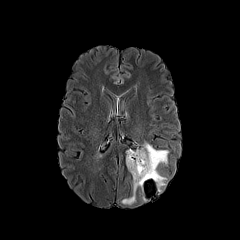
FLAIR MR.
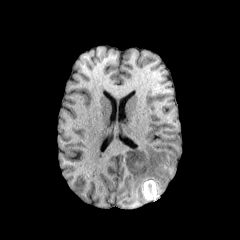
T1-weighted MR image.
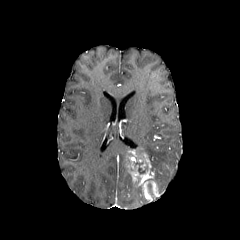
Post-contrast T1-weighted magnetic resonance.
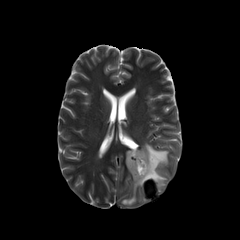
T2-weighted MRI.
Image size 240x240 | Head
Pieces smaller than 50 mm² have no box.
The largest necrotic tumor core region lies within region(134, 162, 145, 173). The 2 largest peritumoral edema regions are located at region(121, 182, 137, 204); region(140, 143, 168, 192). The enhancing tumor lies within region(126, 150, 154, 186).